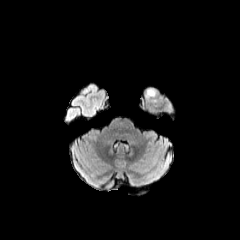
FLAIR MR.
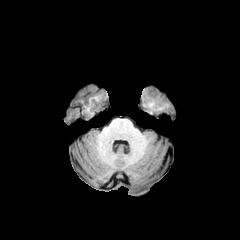
T1-weighted MR of the same slice.
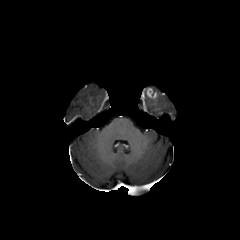
Post-contrast T1-weighted MR.
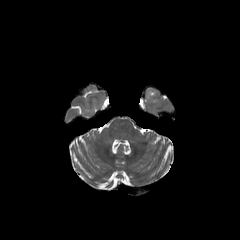
T2-weighted MR image of the same slice.
Image size 240x240 | Axial plane | Brain
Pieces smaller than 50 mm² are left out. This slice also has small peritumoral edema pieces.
{"enhancing_tumor": ["(x1=146, y1=87, x2=158, y2=102)"]}